Head | Axial plane | Image covers 240 mm x 240 mm | Slice index 54 | 240x240
FLAIR MR.
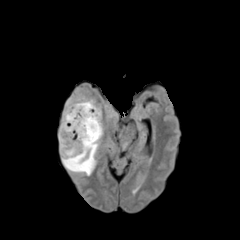
T1-weighted MR image.
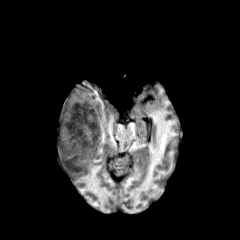
Post-contrast T1-weighted MRI.
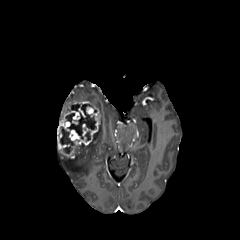
T2-weighted MRI.
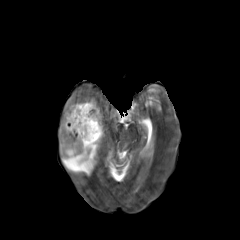
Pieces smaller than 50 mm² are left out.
peritumoral edema — rect(62, 126, 102, 175)
enhancing tumor — rect(58, 100, 101, 158)
necrotic tumor core — rect(60, 127, 73, 145); rect(66, 104, 95, 139)